Slice index 87; Axial slice
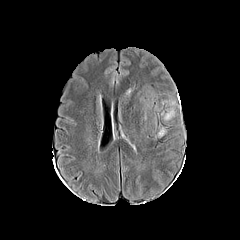
FLAIR MR.
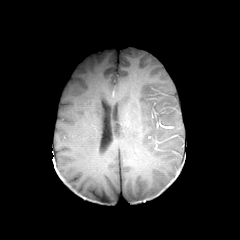
T1-weighted magnetic resonance of the same slice.
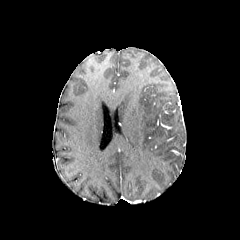
Post-contrast T1-weighted MRI.
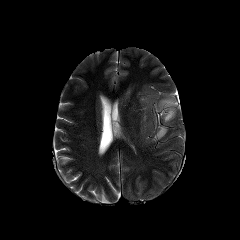
Same slice, T2-weighted MRI.
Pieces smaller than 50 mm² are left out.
peritumoral edema: bounding box x1=157 y1=127 x2=165 y2=137, x1=164 y1=110 x2=173 y2=120